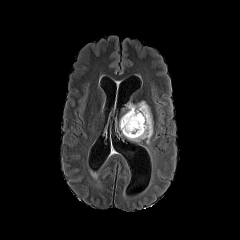
FLAIR MR image.
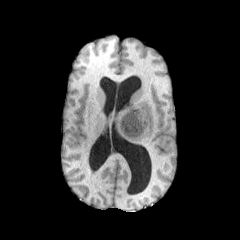
T1-weighted magnetic resonance.
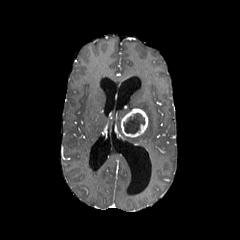
Post-contrast T1-weighted MR of the same slice.
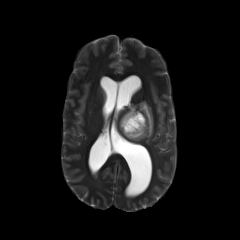
T2-weighted MR.
Axial plane; Head
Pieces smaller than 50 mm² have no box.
The necrotic tumor core is bounded by x1=124, y1=113, x2=144, y2=134. The enhancing tumor is at x1=120, y1=108, x2=148, y2=137. The largest peritumoral edema region appears at x1=126, y1=101, x2=153, y2=144.